FLAIR MRI.
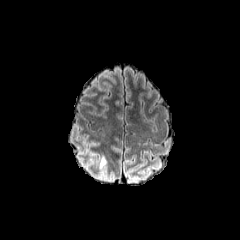
T1-weighted MR image.
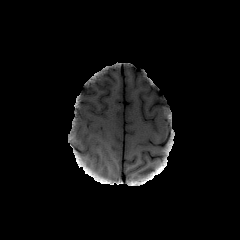
Post-contrast T1-weighted magnetic resonance.
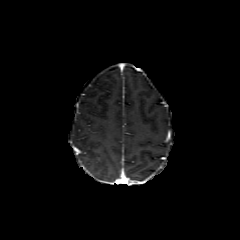
T2-weighted magnetic resonance.
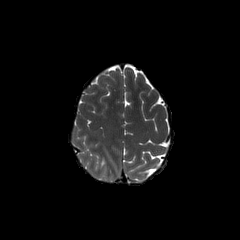
Axial view. Brain.
{
  "peritumoral_edema": [
    "bbox=[99, 157, 106, 168]"
  ]
}